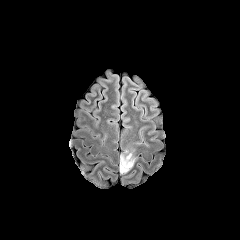
FLAIR MRI.
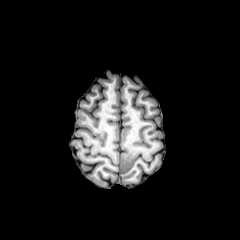
T1-weighted magnetic resonance.
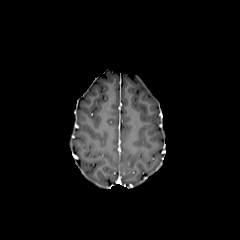
Same slice, post-contrast T1-weighted MR image.
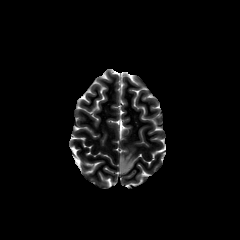
T2-weighted magnetic resonance.
Axial plane. Head.
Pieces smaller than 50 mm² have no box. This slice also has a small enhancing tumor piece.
peritumoral edema: bounding box bbox=[120, 145, 137, 174]